Image covers 240 mm x 240 mm | Slice 100/155
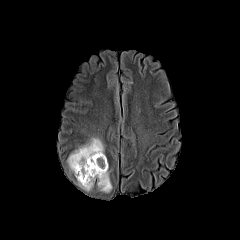
FLAIR MR image.
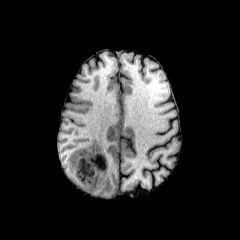
T1-weighted MR of the same slice.
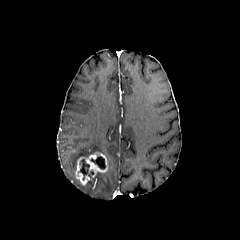
Post-contrast T1-weighted MRI.
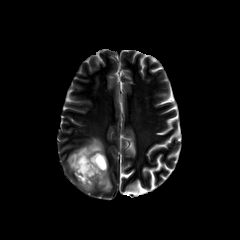
Same slice, T2-weighted MR.
peritumoral edema = 67, 137, 104, 175; 77, 168, 112, 192
necrotic tumor core = 80, 159, 93, 179; 91, 156, 105, 169
enhancing tumor = 75, 152, 108, 185